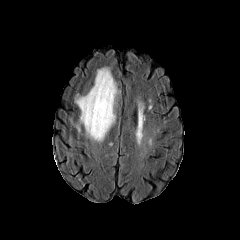
FLAIR MRI.
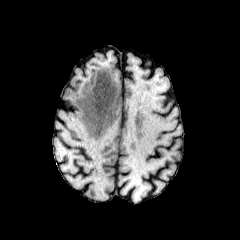
T1-weighted magnetic resonance.
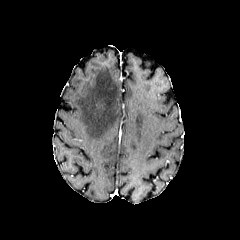
Post-contrast T1-weighted MR image.
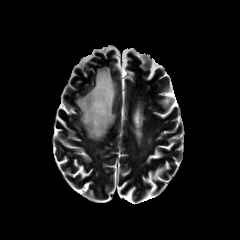
T2-weighted magnetic resonance of the same slice.
Image size 240x240, Head, Axial slice
peritumoral edema = <box>69,67,117,141</box>